Image covers 240 mm x 240 mm. Brain. Axial view.
FLAIR MR image.
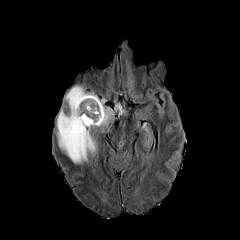
T1-weighted MR image.
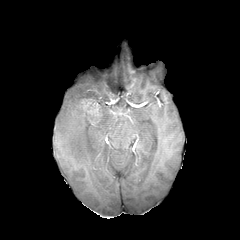
Post-contrast T1-weighted MRI.
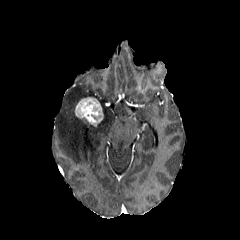
T2-weighted MR.
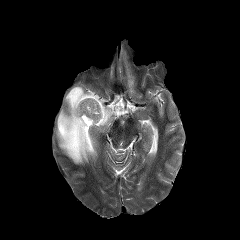
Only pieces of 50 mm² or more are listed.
peritumoral_edema:
  - 56, 86, 113, 163
enhancing_tumor:
  - 75, 97, 103, 126